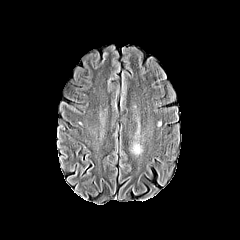
FLAIR MR.
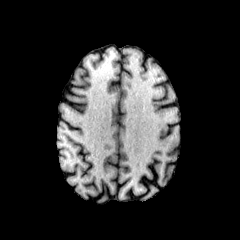
T1-weighted MR image.
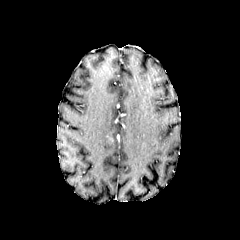
Same slice, post-contrast T1-weighted MR image.
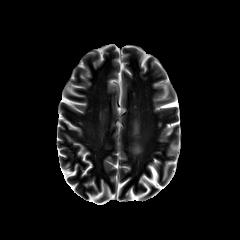
Same slice, T2-weighted MR image.
Brain
peritumoral_edema:
  - bbox(133, 143, 141, 153)